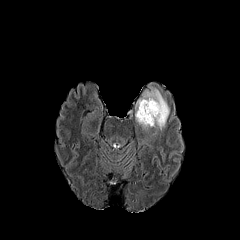
FLAIR MR image.
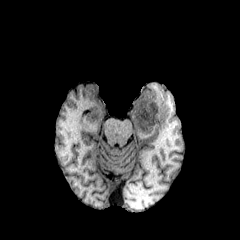
Same slice, T1-weighted MR.
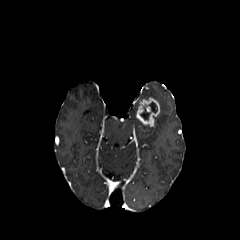
Post-contrast T1-weighted MR.
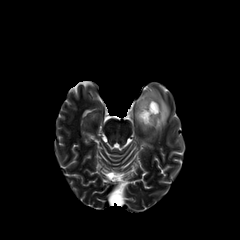
T2-weighted MRI.
Head; Axial view
Findings:
• enhancing tumor: <bbox>136, 97, 160, 126</bbox>
• peritumoral edema: <bbox>135, 84, 169, 133</bbox>
• necrotic tumor core: <bbox>149, 102, 157, 113</bbox>, <bbox>140, 107, 150, 119</bbox>